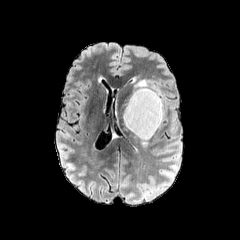
FLAIR MR image.
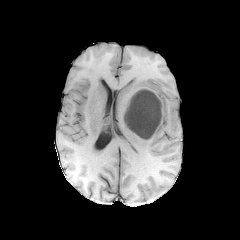
T1-weighted magnetic resonance.
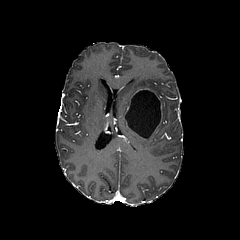
Post-contrast T1-weighted magnetic resonance.
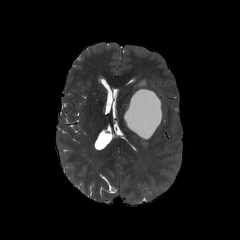
T2-weighted MR.
Brain.
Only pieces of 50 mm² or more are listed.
The largest enhancing tumor region is bounded by 130:88:162:123. The largest peritumoral edema region is at 137:80:146:88. The necrotic tumor core is located at 125:90:161:138.